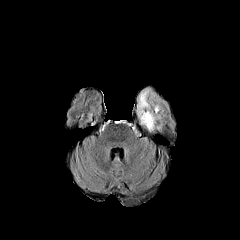
FLAIR MR.
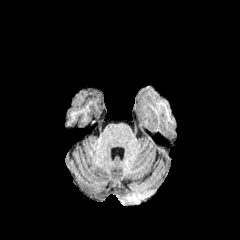
T1-weighted magnetic resonance.
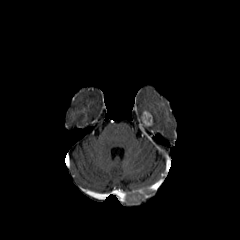
Post-contrast T1-weighted MR image.
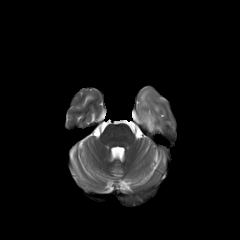
T2-weighted MRI.
Image size 240x240
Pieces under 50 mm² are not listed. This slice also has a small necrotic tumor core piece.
enhancing tumor: (141,111,152,125)
peritumoral edema: (136,88,162,132)